Axial slice, Brain
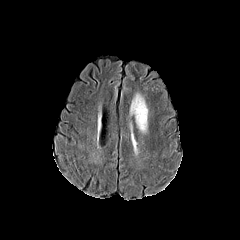
FLAIR MR.
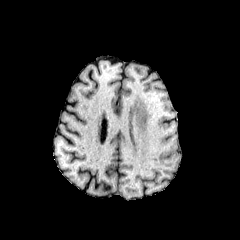
T1-weighted MRI.
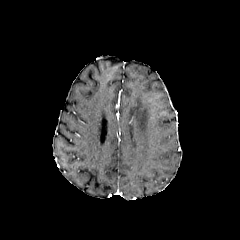
Post-contrast T1-weighted MRI.
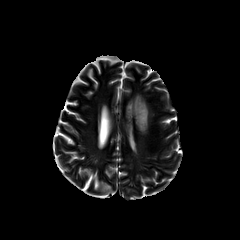
T2-weighted MR image.
{
  "peritumoral_edema": [
    "<box>131,94,147,132</box>"
  ]
}